FLAIR MR image.
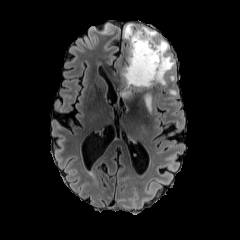
T1-weighted MR.
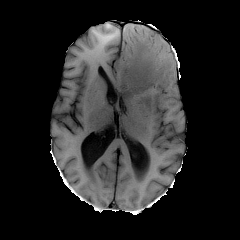
Post-contrast T1-weighted MRI.
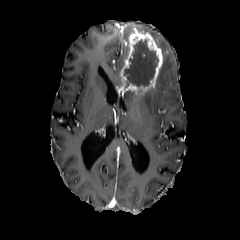
T2-weighted MR.
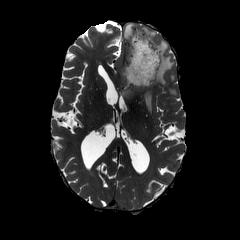
Head.
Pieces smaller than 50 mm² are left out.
The necrotic tumor core is bounded by left=123, top=39, right=158, bottom=86. The largest enhancing tumor region lies within left=120, top=28, right=163, bottom=93. The 3 largest peritumoral edema regions appear at left=123, top=23, right=174, bottom=84; left=122, top=91, right=133, bottom=98; left=140, top=89, right=152, bottom=114.